Image width 240 mm, 1.00 mm slice spacing; Axial slice
FLAIR magnetic resonance.
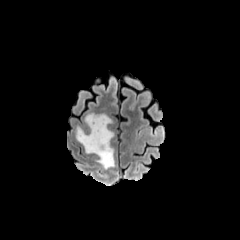
T1-weighted magnetic resonance.
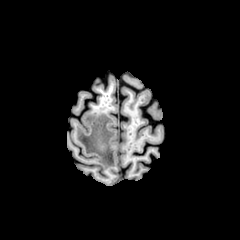
Post-contrast T1-weighted MRI.
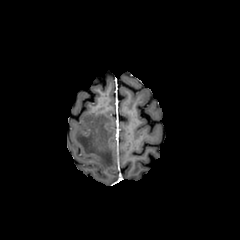
T2-weighted magnetic resonance.
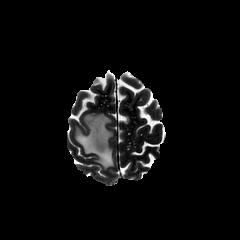
peritumoral edema: (x1=76, y1=113, x2=114, y2=169)